240x240 px
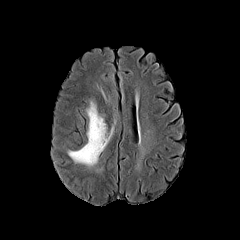
FLAIR MRI.
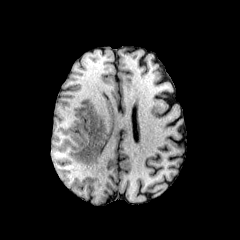
T1-weighted magnetic resonance.
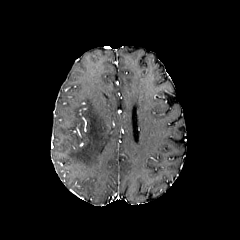
Same slice, post-contrast T1-weighted MR.
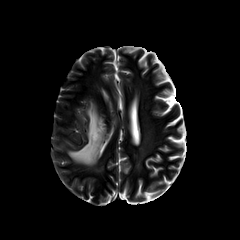
T2-weighted magnetic resonance.
peritumoral edema at <bbox>68, 101, 112, 165</bbox>